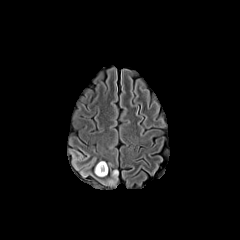
FLAIR magnetic resonance.
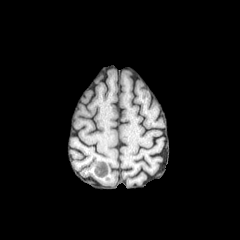
T1-weighted MR of the same slice.
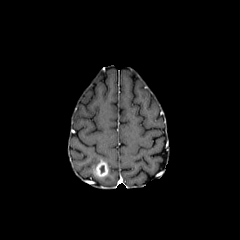
Post-contrast T1-weighted MR image.
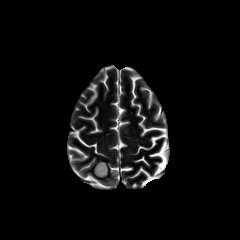
Same slice, T2-weighted MR.
Axial plane, Brain
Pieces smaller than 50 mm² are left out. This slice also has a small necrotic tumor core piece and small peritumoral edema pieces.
enhancing tumor — box(94, 160, 108, 177)